FLAIR MR.
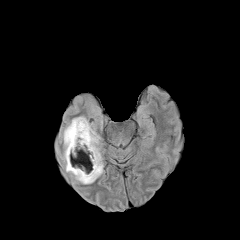
T1-weighted MR.
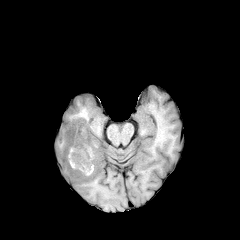
Post-contrast T1-weighted MR.
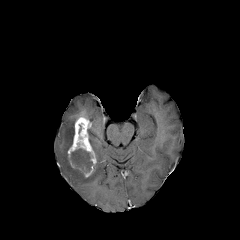
T2-weighted MR image.
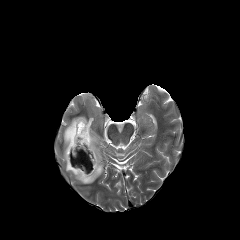
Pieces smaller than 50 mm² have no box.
<segmentation>
  <peritumoral_edema>box=[62, 117, 103, 183]</peritumoral_edema>
  <enhancing_tumor>box=[67, 117, 96, 177]</enhancing_tumor>
  <necrotic_tumor_core>box=[70, 149, 92, 172]</necrotic_tumor_core>
</segmentation>